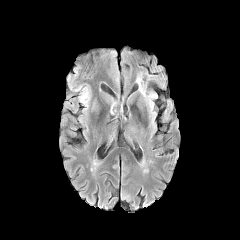
FLAIR MRI.
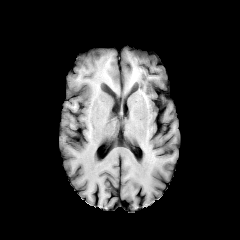
Same slice, T1-weighted MRI.
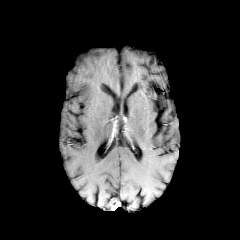
Post-contrast T1-weighted MR.
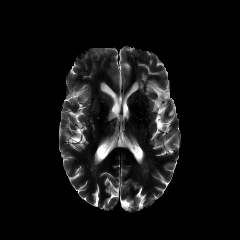
T2-weighted MR image.
240x240 px, Axial slice, Head
The peritumoral edema is bounded by bbox(80, 89, 89, 103).